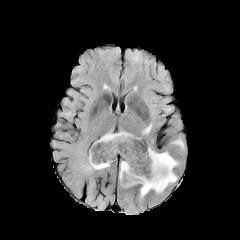
FLAIR MRI.
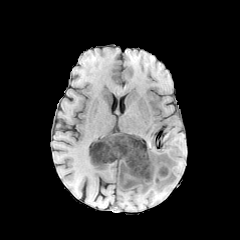
T1-weighted magnetic resonance of the same slice.
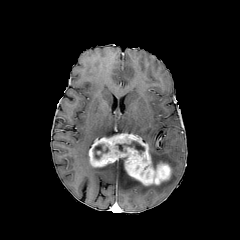
Post-contrast T1-weighted MR of the same slice.
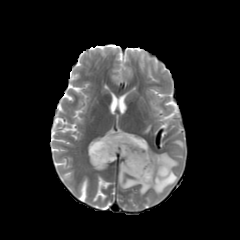
T2-weighted MR image.
Head
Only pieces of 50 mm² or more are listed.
Annotated regions:
- peritumoral edema: bbox(103, 131, 126, 137); bbox(87, 164, 109, 169); bbox(119, 146, 178, 197); bbox(142, 125, 151, 134)
- necrotic tumor core: bbox(116, 141, 144, 153); bbox(94, 144, 108, 159)
- enhancing tumor: bbox(89, 133, 171, 185)